Brain, 240x240, Image width 240 mm, Axial plane
FLAIR MRI.
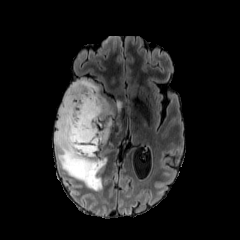
T1-weighted MRI.
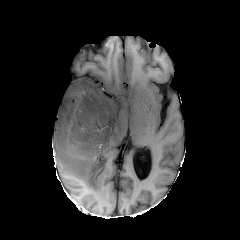
Post-contrast T1-weighted MRI.
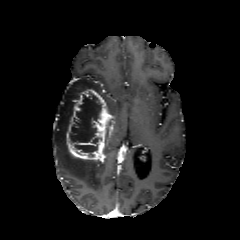
T2-weighted magnetic resonance.
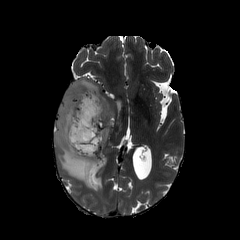
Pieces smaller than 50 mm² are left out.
- necrotic tumor core: (left=69, top=94, right=101, bottom=142), (left=75, top=144, right=97, bottom=152)
- enhancing tumor: (left=66, top=89, right=114, bottom=162)
- peritumoral edema: (left=54, top=79, right=106, bottom=191)